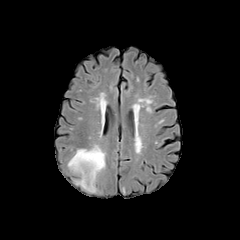
FLAIR MR image.
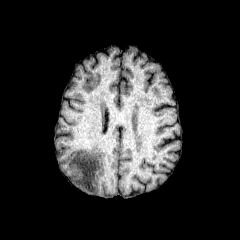
T1-weighted MR image.
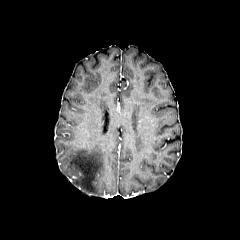
Post-contrast T1-weighted magnetic resonance.
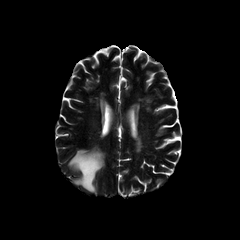
T2-weighted MR image.
Head.
The peritumoral edema appears at x1=68, y1=145, x2=105, y2=192.